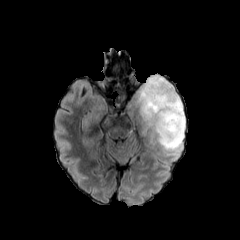
FLAIR MRI.
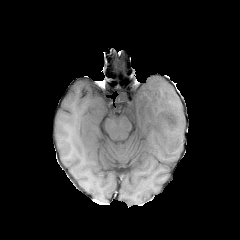
T1-weighted MR.
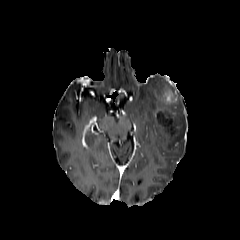
Post-contrast T1-weighted MR image of the same slice.
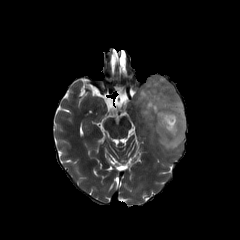
Same slice, T2-weighted MR.
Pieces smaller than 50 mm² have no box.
enhancing tumor = 156, 109, 177, 131; 164, 94, 173, 102
peritumoral edema = 135, 75, 185, 154
necrotic tumor core = 156, 112, 176, 134